FLAIR MRI.
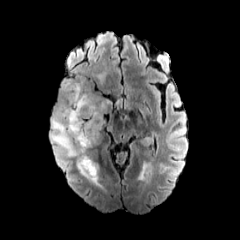
T1-weighted MR image.
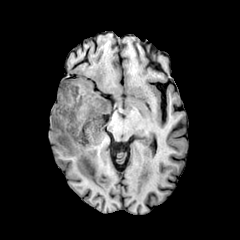
Post-contrast T1-weighted MR image.
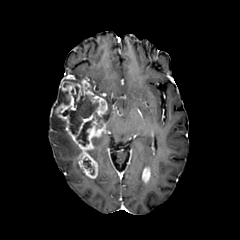
T2-weighted magnetic resonance.
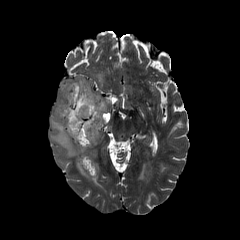
Brain
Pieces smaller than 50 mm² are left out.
enhancing tumor at (left=55, top=79, right=107, bottom=178), (left=142, top=166, right=150, bottom=182)
necrotic tumor core at (left=76, top=121, right=91, bottom=145), (left=61, top=86, right=102, bottom=134), (left=83, top=159, right=92, bottom=170), (left=60, top=91, right=69, bottom=104)
peritumoral edema at (left=138, top=161, right=152, bottom=187), (left=97, top=72, right=104, bottom=82), (left=50, top=112, right=81, bottom=157), (left=77, top=158, right=101, bottom=187)